Brain; 240x240 px; Slice index 117; Axial plane
FLAIR magnetic resonance.
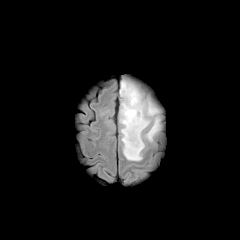
T1-weighted magnetic resonance.
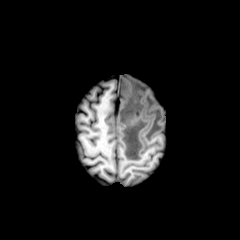
Post-contrast T1-weighted magnetic resonance.
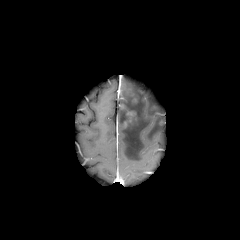
T2-weighted MR image.
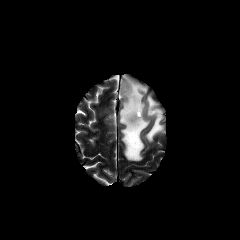
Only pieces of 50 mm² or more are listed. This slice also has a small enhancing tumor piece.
Findings:
- peritumoral edema: rect(119, 81, 161, 160)